Axial plane
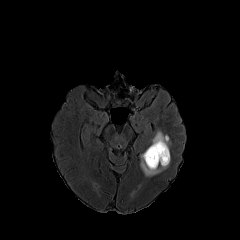
FLAIR MR.
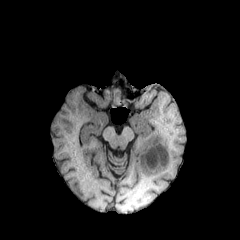
T1-weighted magnetic resonance.
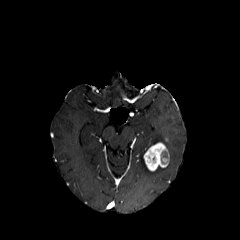
Same slice, post-contrast T1-weighted MRI.
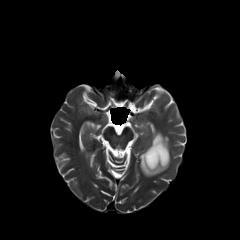
T2-weighted MRI.
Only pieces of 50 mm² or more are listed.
2 peritumoral edema regions appear at 151, 130, 171, 149; 140, 154, 170, 177. The largest enhancing tumor region is bounded by 143, 142, 169, 171.